Slice 133/155, Axial slice, Image width 240 mm
FLAIR MRI.
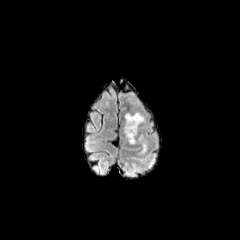
T1-weighted magnetic resonance.
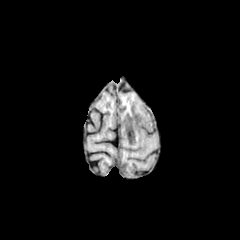
Post-contrast T1-weighted magnetic resonance.
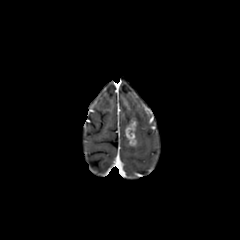
T2-weighted magnetic resonance.
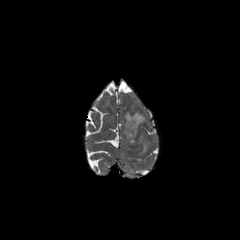
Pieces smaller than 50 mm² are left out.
enhancing tumor: (x1=125, y1=118, x2=137, y2=145) | peritumoral edema: (x1=123, y1=110, x2=147, y2=154)